FLAIR MR image.
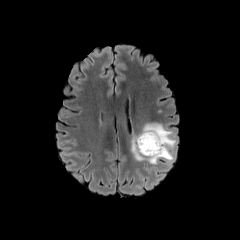
T1-weighted magnetic resonance.
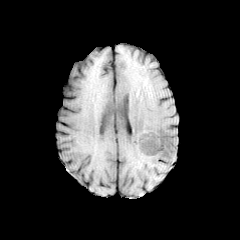
Post-contrast T1-weighted MRI.
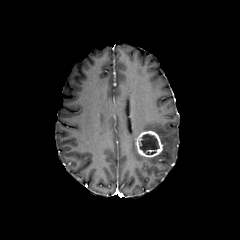
T2-weighted MR image.
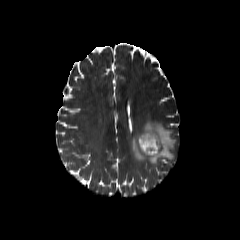
Brain | Axial slice | 240x240 px
enhancing tumor — box=[135, 130, 163, 157]
peritumoral edema — box=[131, 123, 176, 165]
necrotic tumor core — box=[140, 134, 159, 154]